FLAIR MR.
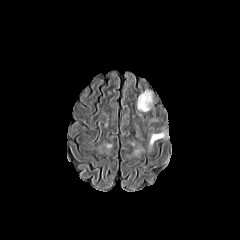
T1-weighted MR image.
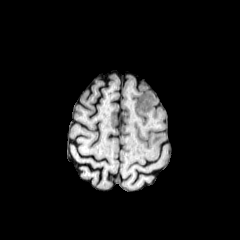
Post-contrast T1-weighted MRI.
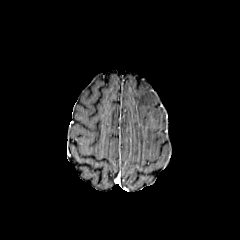
T2-weighted MR image.
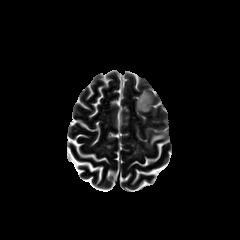
240x240; Axial view
2 peritumoral edema regions are bounded by {"x1": 150, "y1": 133, "x2": 164, "y2": 145}, {"x1": 137, "y1": 90, "x2": 153, "y2": 111}.